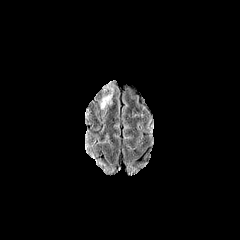
FLAIR MR.
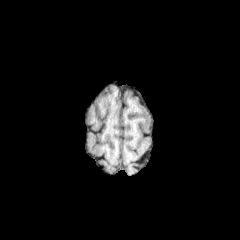
T1-weighted magnetic resonance.
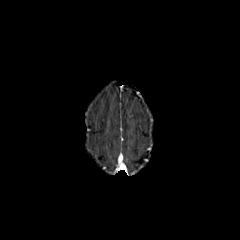
Same slice, post-contrast T1-weighted MRI.
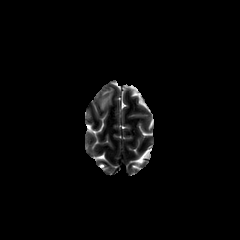
T2-weighted magnetic resonance of the same slice.
Image size 240x240 | Axial slice | Brain
peritumoral edema at {"x1": 101, "y1": 95, "x2": 111, "y2": 108}